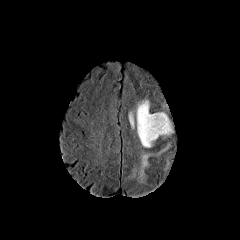
FLAIR MR image.
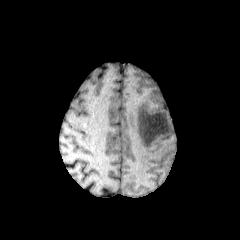
T1-weighted magnetic resonance.
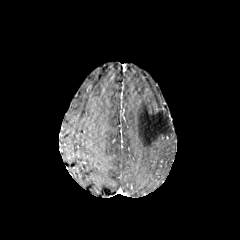
Same slice, post-contrast T1-weighted MRI.
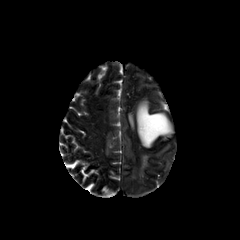
T2-weighted magnetic resonance.
peritumoral edema: <box>136,100,172,147</box>, <box>128,110,134,128</box>, <box>130,145,169,182</box>